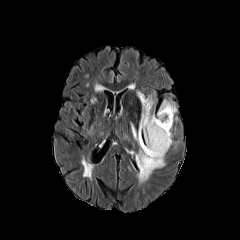
FLAIR MR.
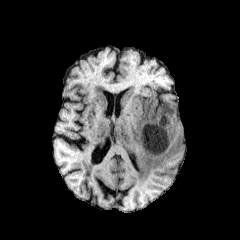
Same slice, T1-weighted MR.
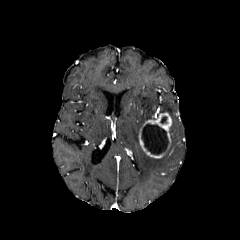
Same slice, post-contrast T1-weighted MR image.
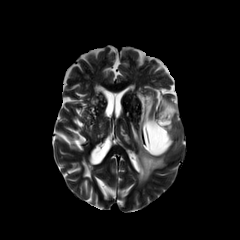
T2-weighted MRI.
Head.
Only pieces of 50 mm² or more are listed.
• enhancing tumor: l=138, t=112, r=172, b=158
• necrotic tumor core: l=142, t=124, r=168, b=154
• peritumoral edema: l=157, t=100, r=176, b=121; l=131, t=124, r=165, b=183; l=137, t=92, r=154, b=130